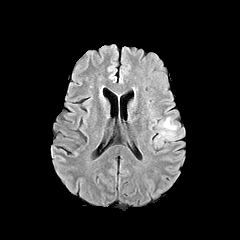
FLAIR MR image.
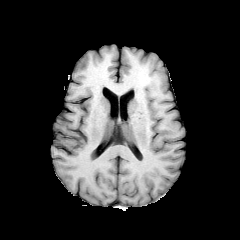
T1-weighted MR image.
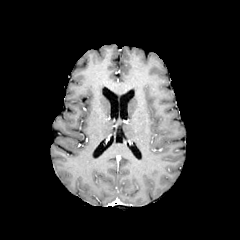
Same slice, post-contrast T1-weighted MR image.
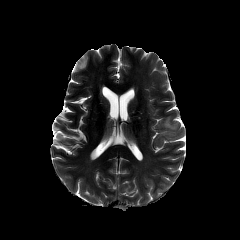
T2-weighted MR image.
Head, Axial view
Annotated regions:
* peritumoral edema: 161:117:176:137